Image covers 240 mm x 240 mm, Axial view, Brain
FLAIR magnetic resonance.
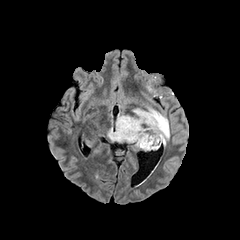
T1-weighted MR image.
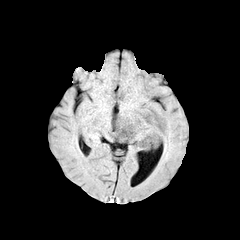
Post-contrast T1-weighted MR image.
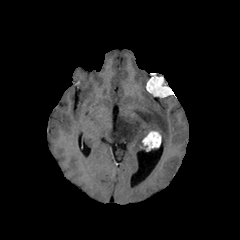
T2-weighted MR image.
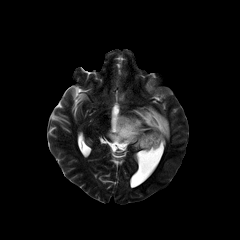
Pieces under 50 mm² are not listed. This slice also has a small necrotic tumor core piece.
peritumoral edema: rect(107, 106, 169, 148)
enhancing tumor: rect(142, 131, 161, 151)